FLAIR MR.
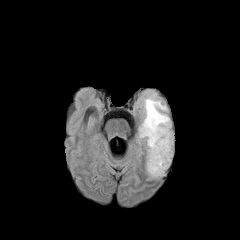
T1-weighted MRI.
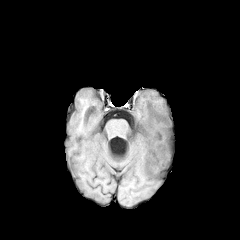
Post-contrast T1-weighted MR image.
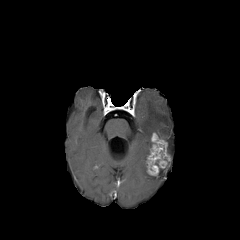
T2-weighted MR.
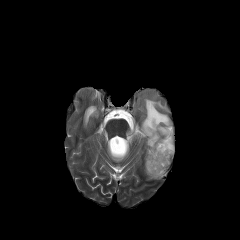
Image size 240x240 | Axial plane | Head
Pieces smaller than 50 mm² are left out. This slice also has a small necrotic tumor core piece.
Annotated regions:
- peritumoral edema: box(139, 94, 173, 159); box(151, 167, 167, 177)
- enhancing tumor: box(146, 132, 170, 176)